FLAIR magnetic resonance.
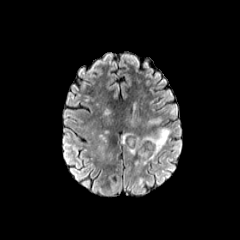
T1-weighted MR image.
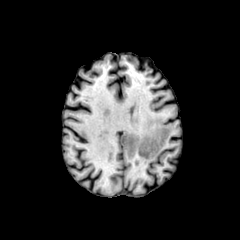
Post-contrast T1-weighted MR image.
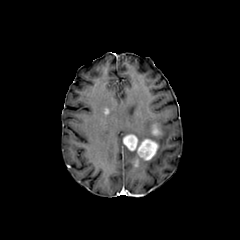
T2-weighted MR image.
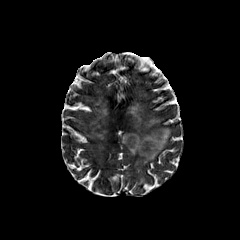
Head
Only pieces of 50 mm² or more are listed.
{"enhancing_tumor": ["[x1=152, y1=125, x2=161, y2=135]", "[x1=123, y1=134, x2=137, y2=150]", "[x1=137, y1=139, x2=158, y2=160]"], "peritumoral_edema": ["[x1=127, y1=128, x2=171, y2=160]", "[x1=147, y1=118, x2=161, y2=126]"]}